FLAIR MR.
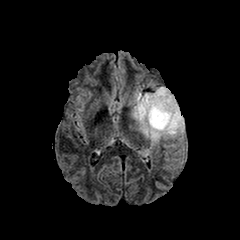
T1-weighted MR image.
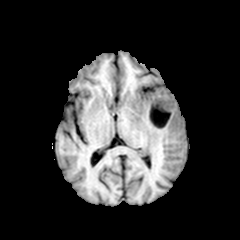
Post-contrast T1-weighted MRI.
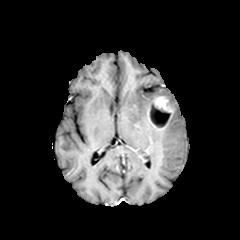
T2-weighted MR.
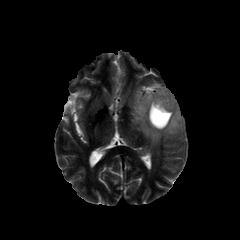
Head. Axial slice.
• necrotic tumor core: 150:103:170:127
• enhancing tumor: 147:96:173:130
• peritumoral edema: 131:87:184:156